Slice 85 of 155; 240x240; Brain
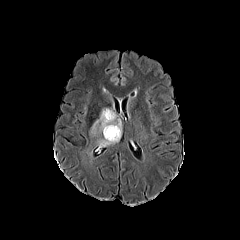
FLAIR MR image.
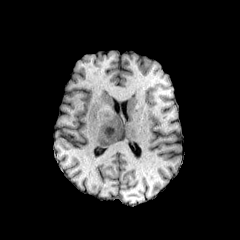
T1-weighted MR.
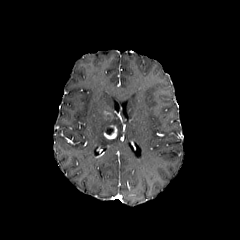
Same slice, post-contrast T1-weighted MRI.
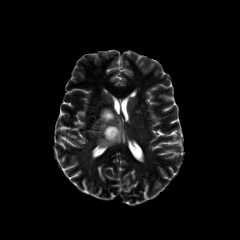
T2-weighted MR image.
The peritumoral edema lies within 90:108:121:146. The necrotic tumor core is at 105:127:113:134. 2 enhancing tumor regions are bounded by 103:111:113:119, 103:125:117:139.